FLAIR magnetic resonance.
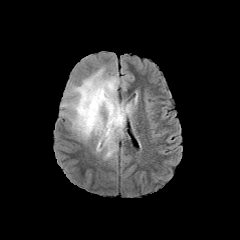
T1-weighted magnetic resonance.
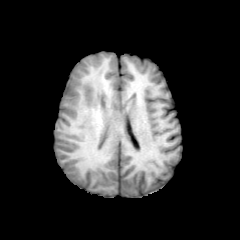
Post-contrast T1-weighted MRI.
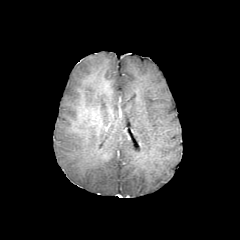
T2-weighted MRI.
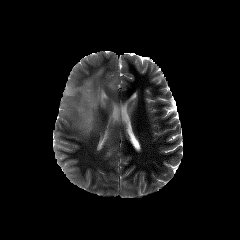
Brain. Axial plane.
peritumoral edema at l=62, t=67, r=133, b=157